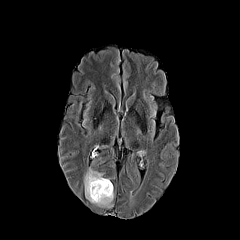
FLAIR magnetic resonance.
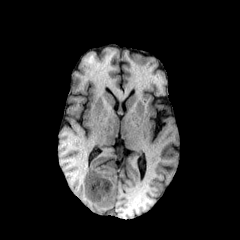
T1-weighted MRI.
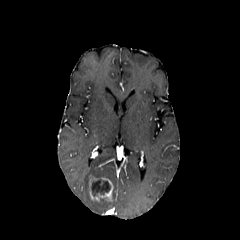
Post-contrast T1-weighted MR image.
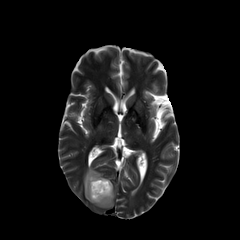
T2-weighted magnetic resonance.
Brain, 240x240
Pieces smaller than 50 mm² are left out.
enhancing tumor at 87:175:113:204
peritumoral edema at 84:168:113:207
necrotic tumor core at 91:179:110:196